FLAIR magnetic resonance.
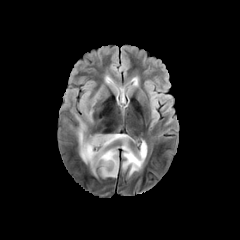
T1-weighted MRI.
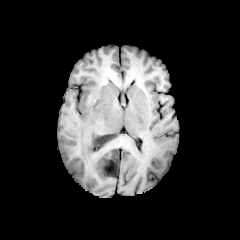
Post-contrast T1-weighted MR image.
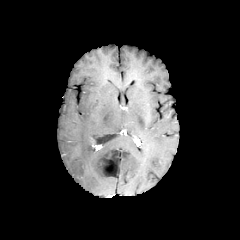
T2-weighted MR image.
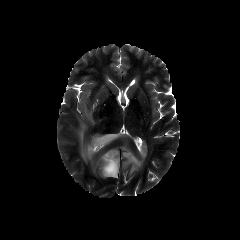
Head.
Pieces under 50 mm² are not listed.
<segmentation>
  <necrotic_tumor_core>103:151:118:176, 91:134:111:143</necrotic_tumor_core>
  <peritumoral_edema>86:110:92:122, 77:118:147:177</peritumoral_edema>
</segmentation>